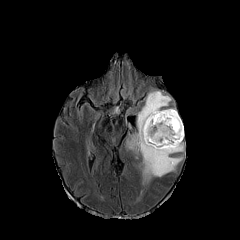
FLAIR MR.
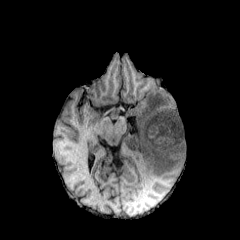
T1-weighted magnetic resonance.
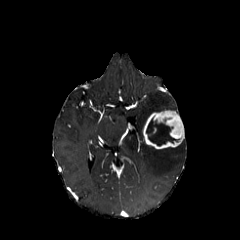
Post-contrast T1-weighted MRI.
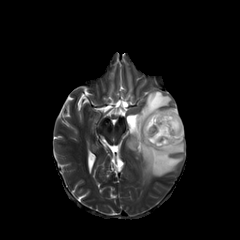
Same slice, T2-weighted magnetic resonance.
240x240 px
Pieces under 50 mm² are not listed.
{
  "enhancing_tumor": [
    "<box>142,110,184,149</box>"
  ],
  "peritumoral_edema": [
    "<box>126,135,138,151</box>",
    "<box>137,91,184,183</box>"
  ],
  "necrotic_tumor_core": [
    "<box>146,118,177,145</box>"
  ]
}